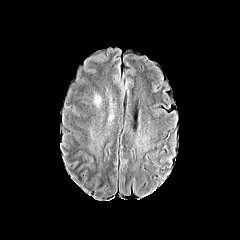
FLAIR MR image.
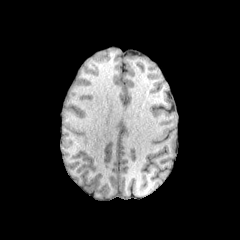
T1-weighted MRI.
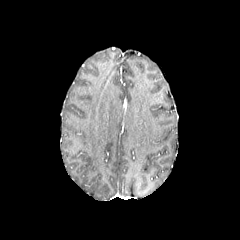
Post-contrast T1-weighted MRI.
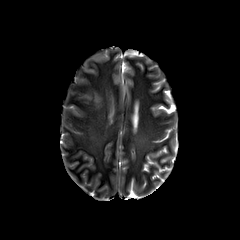
Same slice, T2-weighted MRI.
Brain
peritumoral edema: bounding box l=94, t=94, r=100, b=107